Brain | Axial slice
FLAIR magnetic resonance.
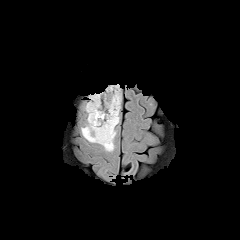
T1-weighted MR image.
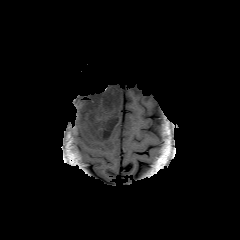
Post-contrast T1-weighted magnetic resonance.
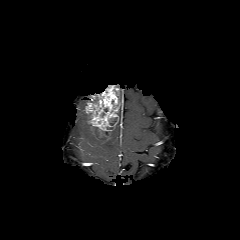
T2-weighted MR image.
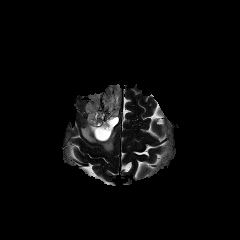
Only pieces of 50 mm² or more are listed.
peritumoral edema = l=81, t=114, r=116, b=151
necrotic tumor core = l=93, t=127, r=110, b=140
enhancing tumor = l=85, t=85, r=120, b=141